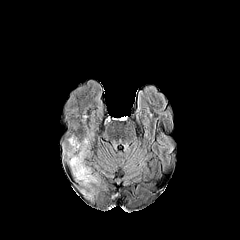
FLAIR magnetic resonance.
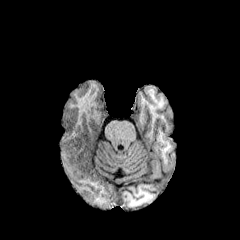
T1-weighted magnetic resonance.
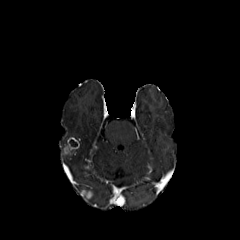
Post-contrast T1-weighted MR image of the same slice.
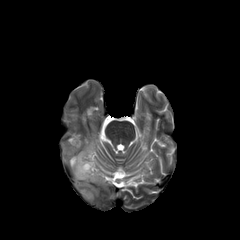
T2-weighted MR.
Brain.
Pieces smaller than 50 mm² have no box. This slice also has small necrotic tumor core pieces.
- enhancing tumor: (x1=81, y1=190, x2=92, y2=198), (x1=63, y1=137, x2=79, y2=154)
- peritumoral edema: (x1=68, y1=150, x2=97, y2=184)